FLAIR magnetic resonance.
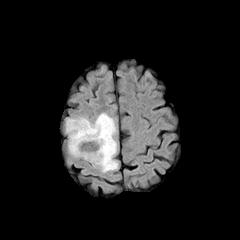
T1-weighted magnetic resonance.
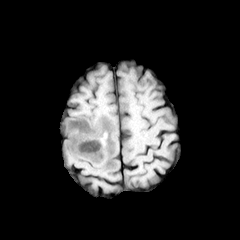
Post-contrast T1-weighted MR.
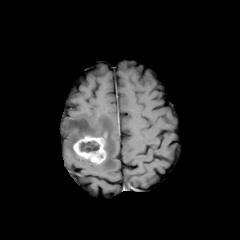
T2-weighted MR image.
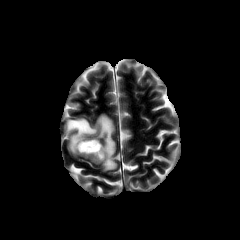
240x240 px | Brain
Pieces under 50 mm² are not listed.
{
  "enhancing_tumor": [
    "region(73, 135, 106, 164)"
  ],
  "peritumoral_edema": [
    "region(65, 113, 118, 172)"
  ],
  "necrotic_tumor_core": [
    "region(80, 141, 99, 151)"
  ]
}